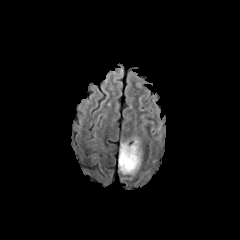
FLAIR MRI.
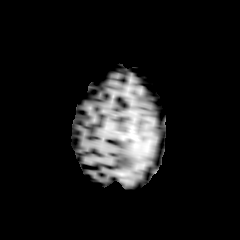
Same slice, T1-weighted MR image.
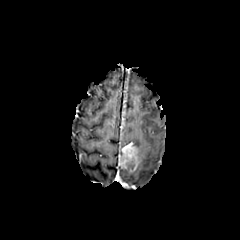
Post-contrast T1-weighted MR image.
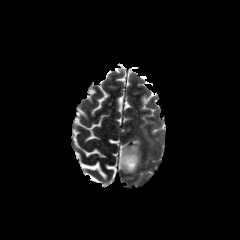
T2-weighted magnetic resonance.
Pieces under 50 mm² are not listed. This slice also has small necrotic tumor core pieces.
The largest peritumoral edema region lies within (left=119, top=140, right=141, bottom=173). The enhancing tumor lies within (left=119, top=143, right=138, bottom=171).